Axial plane. 240x240 px. Head.
FLAIR magnetic resonance.
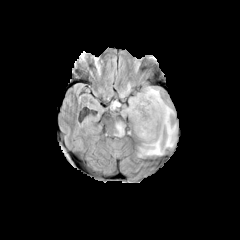
T1-weighted MR image.
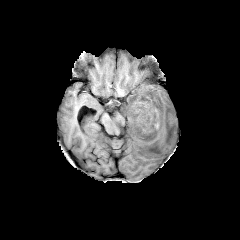
Post-contrast T1-weighted MRI.
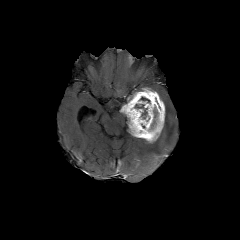
T2-weighted magnetic resonance.
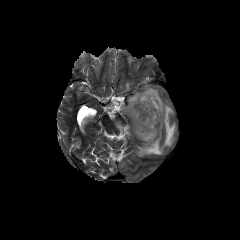
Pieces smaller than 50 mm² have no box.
necrotic_tumor_core:
  - rect(154, 98, 161, 119)
peritumoral_edema:
  - rect(111, 101, 121, 109)
  - rect(138, 98, 176, 156)
  - rect(116, 122, 124, 134)
enhancing_tumor:
  - rect(120, 87, 165, 142)